FLAIR MRI.
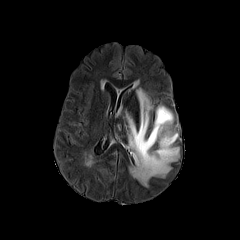
T1-weighted MR.
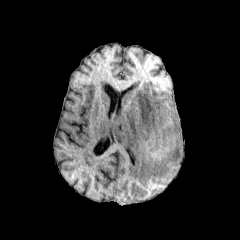
Post-contrast T1-weighted MR.
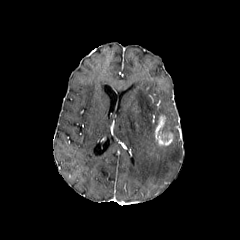
T2-weighted magnetic resonance.
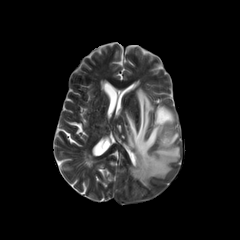
Axial plane. Brain.
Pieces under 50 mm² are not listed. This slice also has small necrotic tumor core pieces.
<segmentation>
  <peritumoral_edema>rect(126, 88, 179, 186)</peritumoral_edema>
  <enhancing_tumor>rect(155, 115, 173, 145)</enhancing_tumor>
</segmentation>